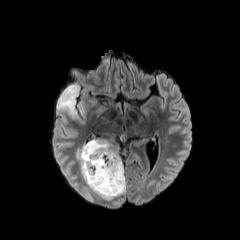
FLAIR MR.
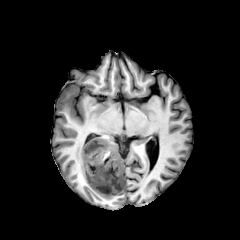
T1-weighted MRI.
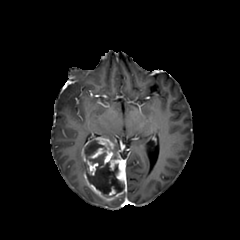
Post-contrast T1-weighted MRI of the same slice.
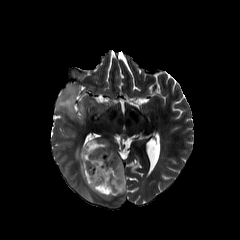
T2-weighted magnetic resonance.
Image size 240x240 | Head | Axial slice
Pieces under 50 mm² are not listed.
The largest enhancing tumor region is bounded by {"x1": 81, "y1": 137, "x2": 126, "y2": 201}. The 2 largest necrotic tumor core regions are bounded by {"x1": 84, "y1": 140, "x2": 106, "y2": 158}, {"x1": 86, "y1": 152, "x2": 124, "y2": 194}. The 4 largest peritumoral edema regions are located at {"x1": 83, "y1": 186, "x2": 101, "y2": 201}, {"x1": 78, "y1": 101, "x2": 84, "y2": 114}, {"x1": 76, "y1": 149, "x2": 86, "y2": 180}, {"x1": 57, "y1": 84, "x2": 79, "y2": 116}.